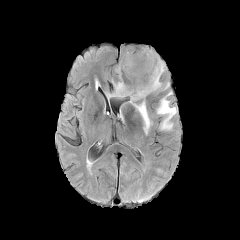
FLAIR MR image.
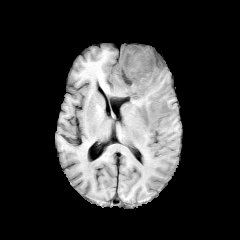
Same slice, T1-weighted MRI.
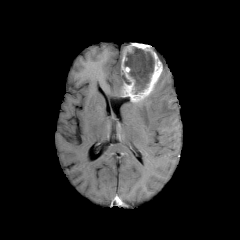
Post-contrast T1-weighted MR image of the same slice.
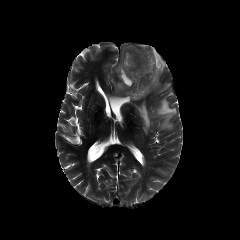
Same slice, T2-weighted MRI.
Axial slice
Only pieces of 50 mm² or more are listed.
necrotic tumor core: bounding box (124, 47, 154, 93)
peritumoral edema: bounding box (153, 78, 169, 91), (130, 99, 152, 134), (156, 91, 176, 130), (102, 63, 122, 97)
enhancing tumor: bounding box (121, 43, 163, 102)